240x240
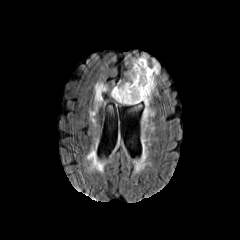
FLAIR MR.
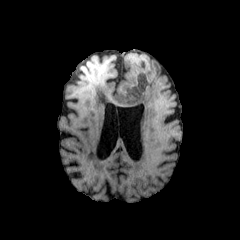
Same slice, T1-weighted MRI.
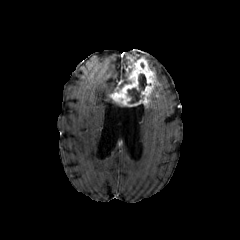
Post-contrast T1-weighted MR image.
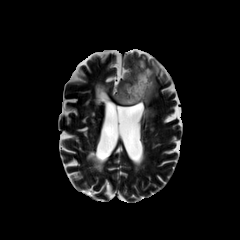
T2-weighted MRI.
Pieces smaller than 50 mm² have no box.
Findings:
* peritumoral edema: <box>149,59,160,78</box>, <box>125,61,131,77</box>, <box>118,79,130,87</box>, <box>126,54,148,60</box>
* enhancing tumor: <box>110,57,157,107</box>
* necrotic tumor core: <box>127,74,147,103</box>